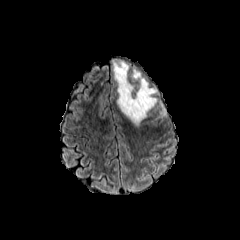
FLAIR magnetic resonance.
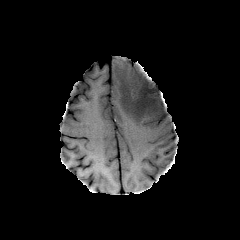
T1-weighted magnetic resonance of the same slice.
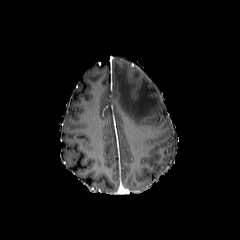
Post-contrast T1-weighted MR.
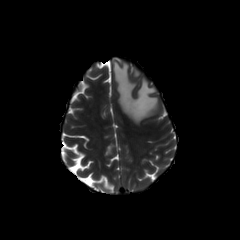
T2-weighted magnetic resonance.
Head.
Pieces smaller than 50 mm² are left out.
The largest peritumoral edema region is located at region(113, 61, 157, 125).